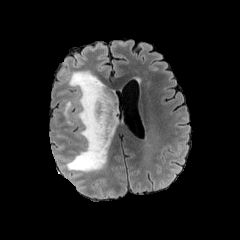
FLAIR magnetic resonance.
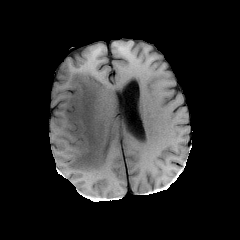
T1-weighted magnetic resonance.
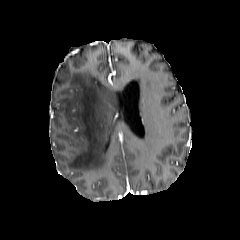
Post-contrast T1-weighted MR image.
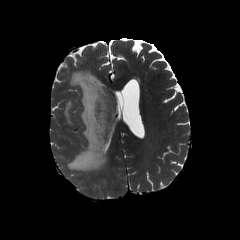
Same slice, T2-weighted MR image.
240x240; Brain
peritumoral edema: (x1=64, y1=71, x2=118, y2=177)